FLAIR MR image.
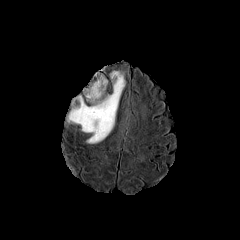
T1-weighted MR image.
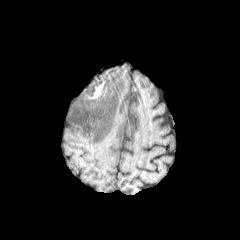
Post-contrast T1-weighted MR image.
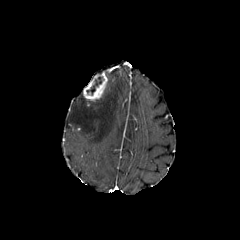
T2-weighted MR image.
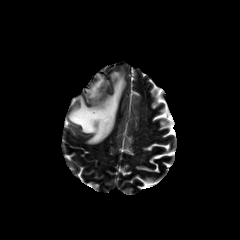
Axial slice; Head
<segmentation>
  <peritumoral_edema>[x1=68, y1=71, x2=125, y2=143]</peritumoral_edema>
  <enhancing_tumor>[x1=83, y1=73, x2=107, y2=101]</enhancing_tumor>
  <necrotic_tumor_core>[x1=86, y1=76, x2=102, y2=95]</necrotic_tumor_core>
</segmentation>